FLAIR MRI.
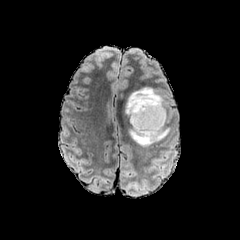
T1-weighted magnetic resonance.
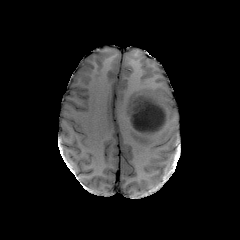
Post-contrast T1-weighted MR image.
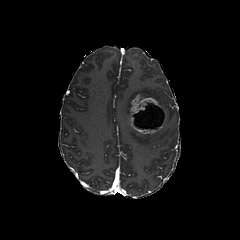
T2-weighted magnetic resonance.
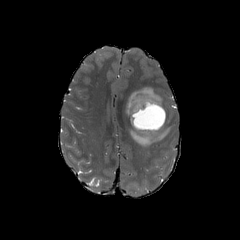
Head; Axial slice
peritumoral edema = region(130, 127, 168, 146); region(125, 88, 161, 116)
necrotic tumor core = region(133, 102, 164, 129)
enhancing tumor = region(130, 94, 166, 134)